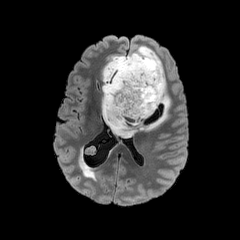
FLAIR MR.
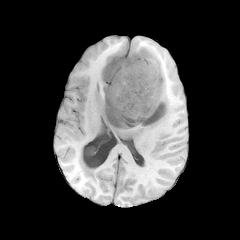
T1-weighted MR image of the same slice.
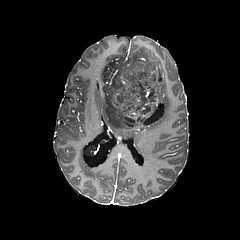
Post-contrast T1-weighted magnetic resonance of the same slice.
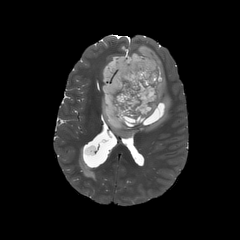
T2-weighted magnetic resonance.
Head
necrotic tumor core: bbox(104, 56, 166, 128) | peritumoral edema: bbox(102, 45, 170, 137)